Image width 240 mm, 1.00 mm slice spacing | Axial slice | 240x240
FLAIR MRI.
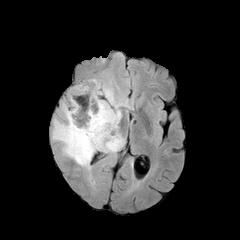
T1-weighted MR image.
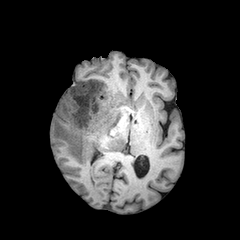
Post-contrast T1-weighted MRI.
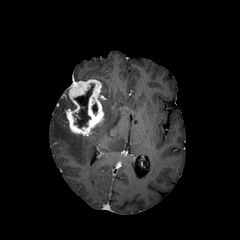
T2-weighted MRI.
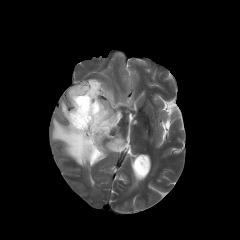
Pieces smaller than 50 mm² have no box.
The largest necrotic tumor core region is bounded by [73, 84, 94, 127]. The enhancing tumor is located at [65, 79, 104, 136]. The peritumoral edema is located at [52, 79, 129, 169].